Slice 58 of 155; Brain
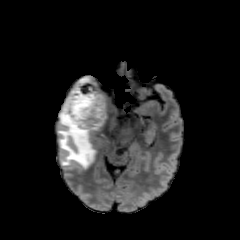
FLAIR MR.
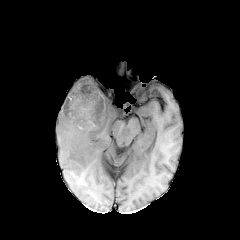
T1-weighted MR image.
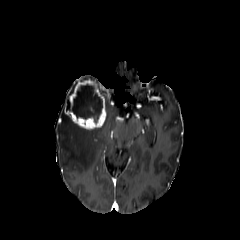
Post-contrast T1-weighted MR image.
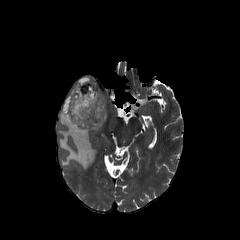
T2-weighted magnetic resonance.
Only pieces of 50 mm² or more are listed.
Findings:
- necrotic tumor core: (x1=71, y1=84, x2=102, y2=122)
- enhancing tumor: (x1=64, y1=77, x2=106, y2=129)
- peritumoral edema: (x1=58, y1=84, x2=118, y2=168)